FLAIR MR.
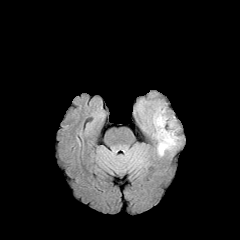
T1-weighted MR.
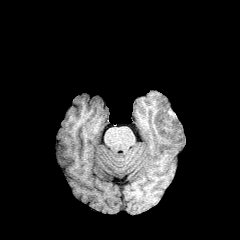
Post-contrast T1-weighted MR image.
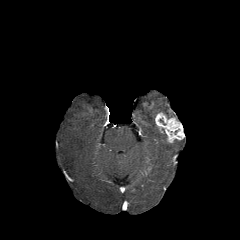
T2-weighted MRI.
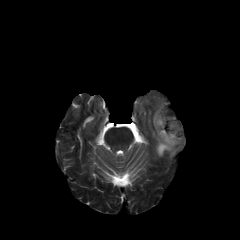
Brain.
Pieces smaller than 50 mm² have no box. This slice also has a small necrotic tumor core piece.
enhancing_tumor:
  - {"x1": 155, "y1": 109, "x2": 184, "y2": 143}
peritumoral_edema:
  - {"x1": 152, "y1": 105, "x2": 179, "y2": 156}